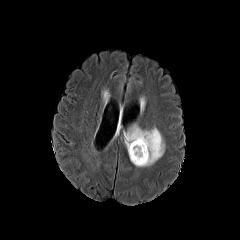
FLAIR MRI.
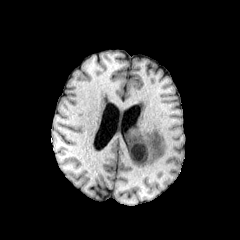
T1-weighted MRI of the same slice.
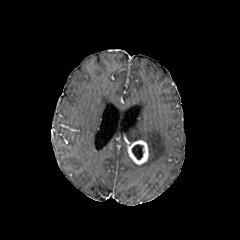
Post-contrast T1-weighted MR image.
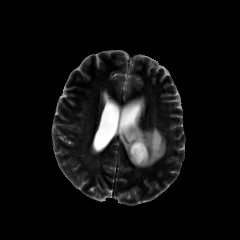
T2-weighted magnetic resonance of the same slice.
Brain.
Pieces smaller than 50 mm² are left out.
The necrotic tumor core is bounded by region(132, 144, 143, 159). The enhancing tumor is bounded by region(127, 139, 148, 164). The largest peritumoral edema region lies within region(125, 126, 165, 166).